240x240, Brain
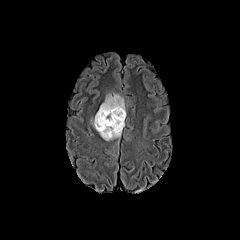
FLAIR MR.
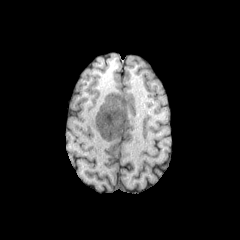
T1-weighted MR image.
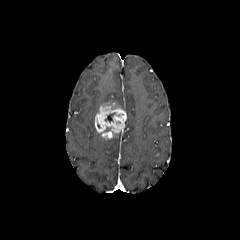
Same slice, post-contrast T1-weighted magnetic resonance.
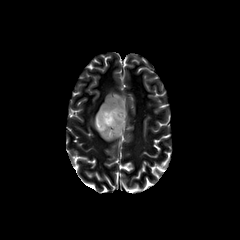
T2-weighted magnetic resonance of the same slice.
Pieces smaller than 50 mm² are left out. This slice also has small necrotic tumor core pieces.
The enhancing tumor is at bbox(94, 101, 126, 139). The largest peritumoral edema region appears at bbox(104, 94, 125, 110).